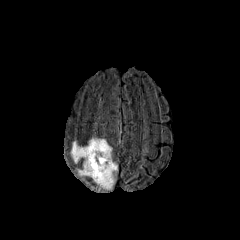
FLAIR MRI.
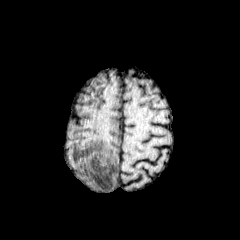
Same slice, T1-weighted MRI.
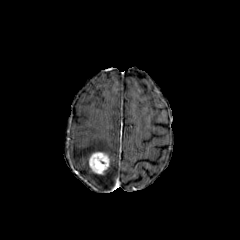
Post-contrast T1-weighted MRI.
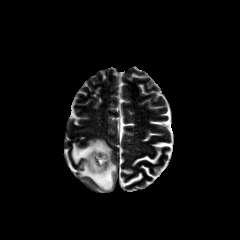
T2-weighted MR.
Axial view.
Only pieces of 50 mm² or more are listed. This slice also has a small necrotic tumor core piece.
enhancing tumor: box=[89, 151, 109, 174] | peritumoral edema: box=[71, 138, 117, 189]